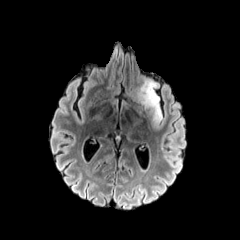
FLAIR magnetic resonance.
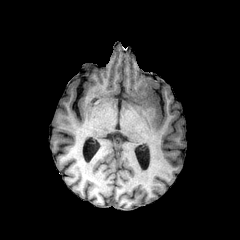
T1-weighted magnetic resonance of the same slice.
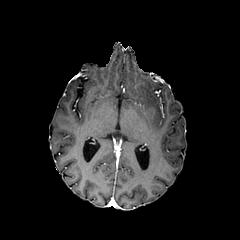
Post-contrast T1-weighted MRI of the same slice.
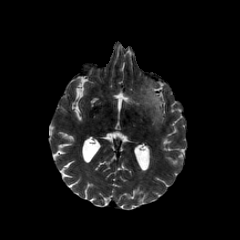
T2-weighted MR image.
Segmented structures:
- peritumoral edema: [137,79,162,126]